FLAIR MR image.
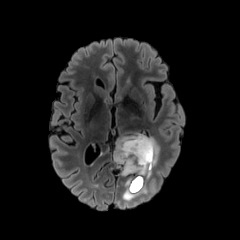
T1-weighted MR.
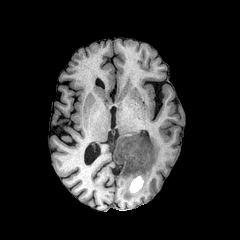
Post-contrast T1-weighted MRI.
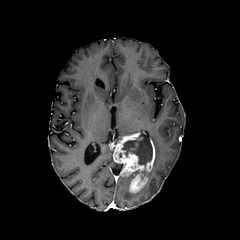
T2-weighted MRI.
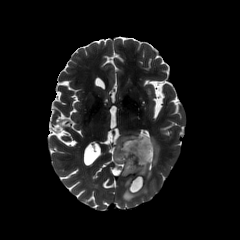
Brain | Image size 240x240 | Axial view
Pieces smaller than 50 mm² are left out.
The largest necrotic tumor core region lies within [122, 135, 152, 165]. The largest enhancing tumor region appears at [113, 132, 155, 192]. The 2 largest peritumoral edema regions are bounded by [151, 137, 160, 167], [122, 178, 148, 200].